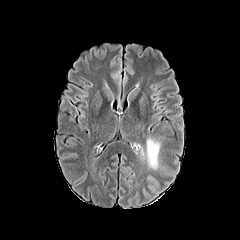
FLAIR MRI.
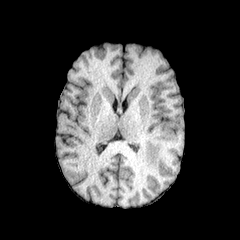
T1-weighted MRI.
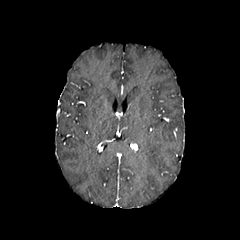
Same slice, post-contrast T1-weighted magnetic resonance.
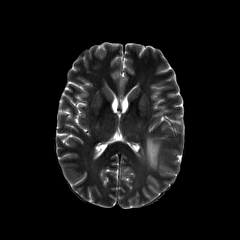
T2-weighted MRI.
Axial view, Image size 240x240
peritumoral edema at (x1=141, y1=138, x2=159, y2=169)